FLAIR MR.
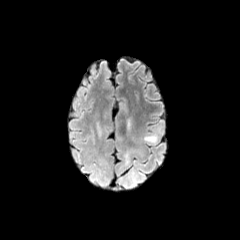
T1-weighted MR image.
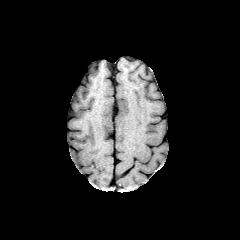
Post-contrast T1-weighted magnetic resonance.
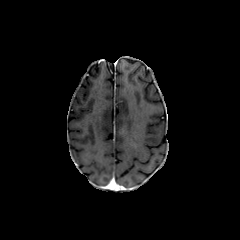
T2-weighted MR.
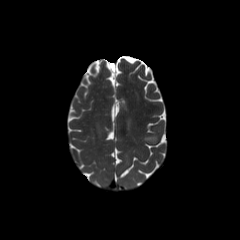
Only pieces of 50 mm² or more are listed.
{
  "peritumoral_edema": [
    "144:136:156:142"
  ]
}